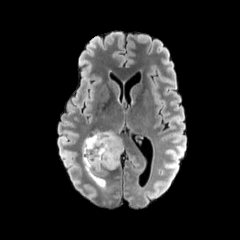
FLAIR MRI.
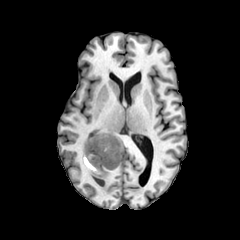
Same slice, T1-weighted MR image.
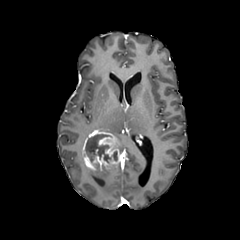
Same slice, post-contrast T1-weighted MR image.
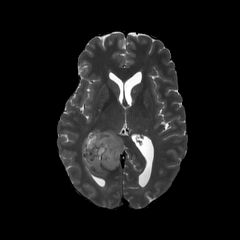
T2-weighted MRI.
Axial slice, Head
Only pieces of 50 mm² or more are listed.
Findings:
- enhancing tumor: [82,131,121,170]
- necrotic tumor core: [85,134,110,162]
- peritumoral edema: [96,129,123,152], [82,155,117,187]